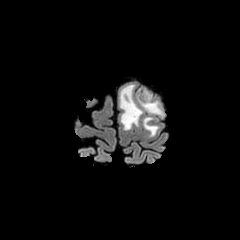
FLAIR MR image.
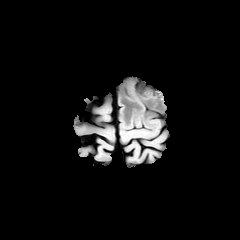
Same slice, T1-weighted magnetic resonance.
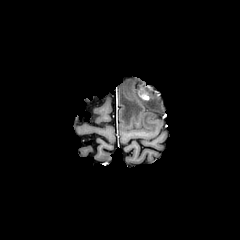
Post-contrast T1-weighted magnetic resonance.
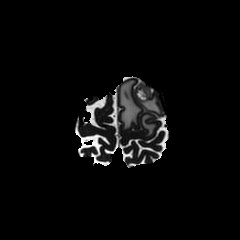
T2-weighted MR image of the same slice.
Axial view.
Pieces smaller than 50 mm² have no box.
peritumoral edema: {"x1": 119, "y1": 83, "x2": 163, "y2": 136} | enhancing tumor: {"x1": 138, "y1": 88, "x2": 149, "y2": 100}